Brain.
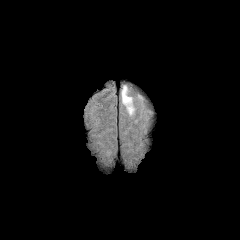
FLAIR MRI.
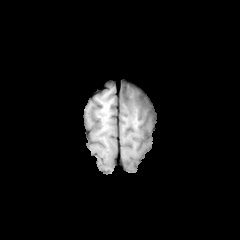
T1-weighted MRI.
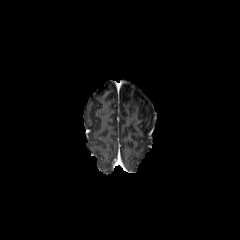
Post-contrast T1-weighted MR.
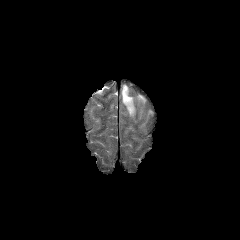
T2-weighted MR image.
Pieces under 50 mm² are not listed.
peritumoral edema — box(122, 85, 134, 115)